Axial plane
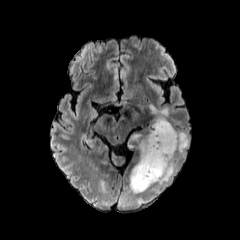
FLAIR MR.
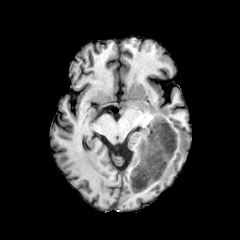
Same slice, T1-weighted MR image.
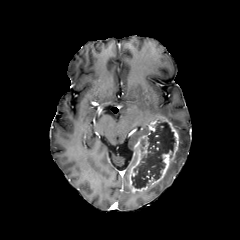
Same slice, post-contrast T1-weighted MRI.
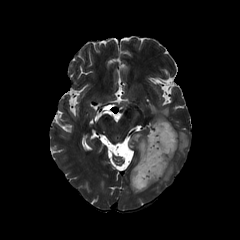
T2-weighted MR image of the same slice.
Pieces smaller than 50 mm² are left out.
Findings:
- enhancing tumor: x1=129 y1=115 x2=179 y2=192
- necrotic tumor core: x1=131 y1=122 x2=175 y2=188
- peritumoral edema: x1=158 y1=130 x2=189 y2=184, x1=150 y1=105 x2=168 y2=118, x1=132 y1=134 x2=141 y2=141